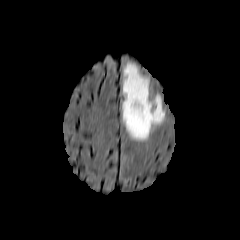
FLAIR magnetic resonance.
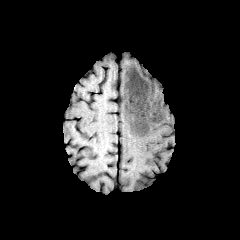
Same slice, T1-weighted MR image.
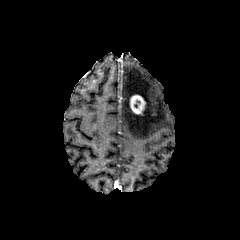
Post-contrast T1-weighted MR of the same slice.
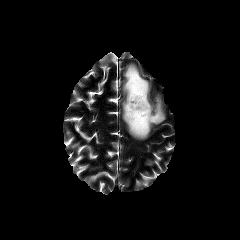
Same slice, T2-weighted MR.
Axial slice.
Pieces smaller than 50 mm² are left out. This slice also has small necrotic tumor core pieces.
The peritumoral edema is at region(122, 63, 165, 140). The enhancing tumor lies within region(129, 94, 146, 115).